Axial view. Head. Image covers 240 mm x 240 mm.
FLAIR MRI.
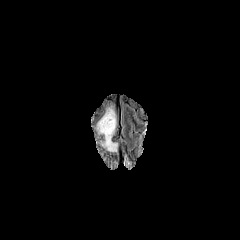
T1-weighted MR image.
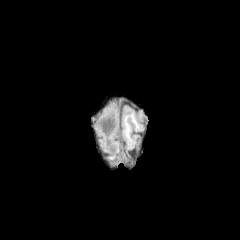
Post-contrast T1-weighted MR image.
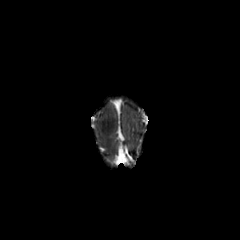
T2-weighted magnetic resonance.
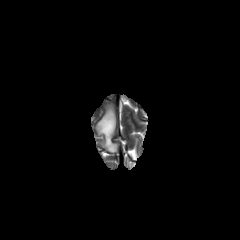
peritumoral_edema:
  - box=[97, 108, 117, 151]